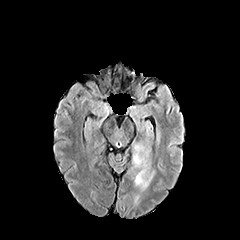
FLAIR magnetic resonance.
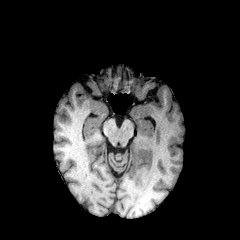
Same slice, T1-weighted MR image.
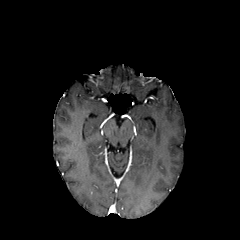
Post-contrast T1-weighted MR.
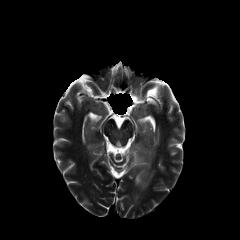
T2-weighted MR.
Head; Axial view
Annotated regions:
* peritumoral edema: box(133, 144, 153, 189)